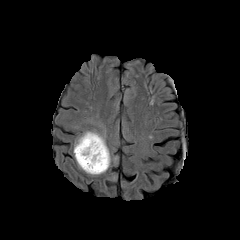
FLAIR MRI.
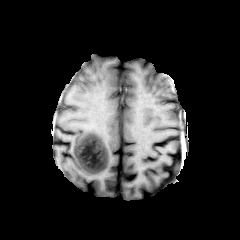
Same slice, T1-weighted magnetic resonance.
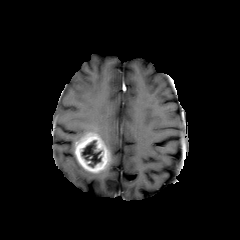
Post-contrast T1-weighted MRI of the same slice.
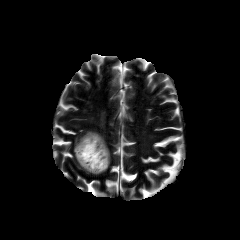
T2-weighted MRI.
Head
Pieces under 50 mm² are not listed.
necrotic tumor core: x1=82 y1=140 x2=101 y2=167 | enhancing tumor: x1=75 y1=132 x2=110 y2=173 | peritumoral edema: x1=73 y1=144 x2=110 y2=174, x1=76 y1=130 x2=106 y2=145